Image size 240x240 | Head | Slice index 63
FLAIR MR image.
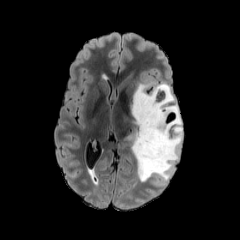
T1-weighted MRI.
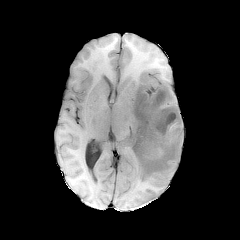
Post-contrast T1-weighted magnetic resonance.
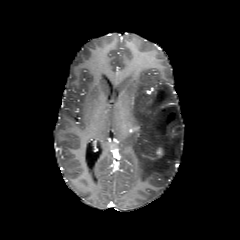
T2-weighted MR image.
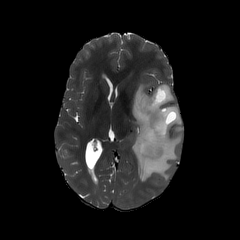
The enhancing tumor appears at <box>142,147,164,159</box>. The peritumoral edema is bounded by <box>129,82,182,181</box>.